Head
FLAIR MR.
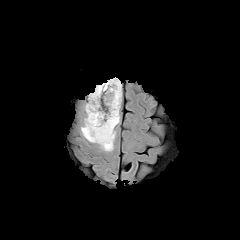
T1-weighted MRI.
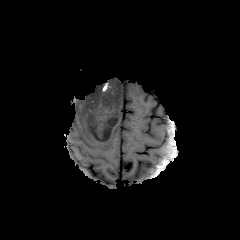
Post-contrast T1-weighted MR image.
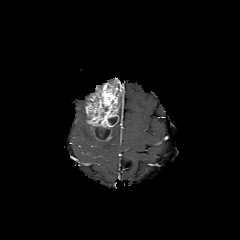
T2-weighted magnetic resonance.
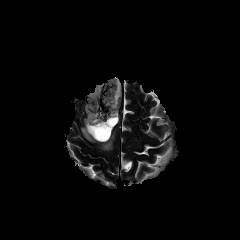
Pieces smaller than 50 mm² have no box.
necrotic tumor core: 108 117 117 124, 93 127 110 139
peritumoral edema: 81 114 115 151
enhancing tumor: 85 77 121 140